FLAIR magnetic resonance.
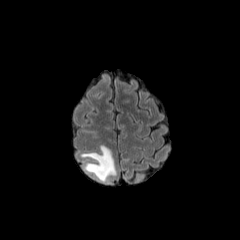
T1-weighted MR image.
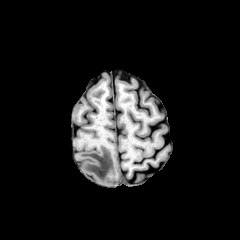
Post-contrast T1-weighted MR image.
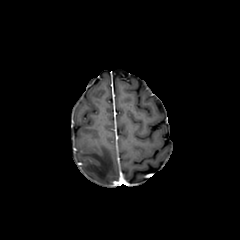
T2-weighted MR image.
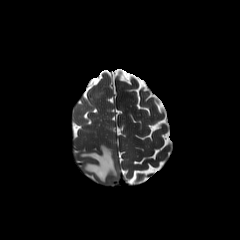
Head.
Findings:
- peritumoral edema: x1=81 y1=145 x2=116 y2=182